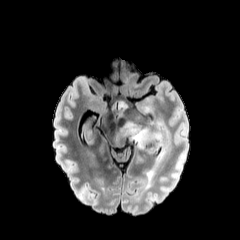
FLAIR MR image.
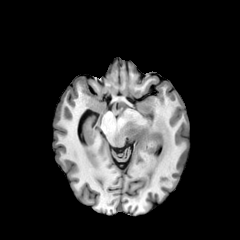
T1-weighted MR of the same slice.
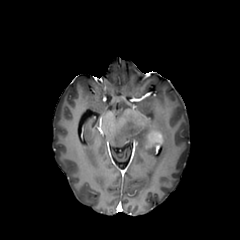
Same slice, post-contrast T1-weighted MRI.
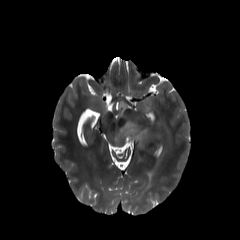
T2-weighted MRI of the same slice.
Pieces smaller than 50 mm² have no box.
peritumoral edema at box(146, 170, 152, 180); box(118, 121, 164, 149); box(118, 102, 126, 115)
enhancing tumor at box(148, 131, 163, 148)